FLAIR MR image.
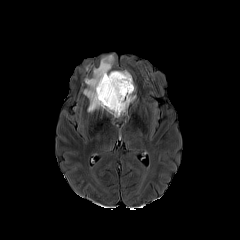
T1-weighted MR image.
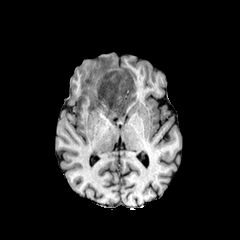
Post-contrast T1-weighted MR image.
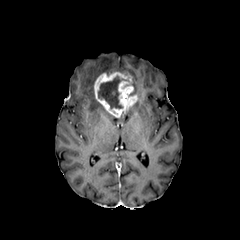
T2-weighted magnetic resonance.
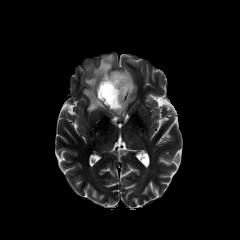
Axial view
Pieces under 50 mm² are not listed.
- peritumoral edema: bbox=[83, 55, 114, 111]
- enhancing tumor: bbox=[94, 71, 136, 117]
- necrotic tumor core: bbox=[98, 76, 122, 108]